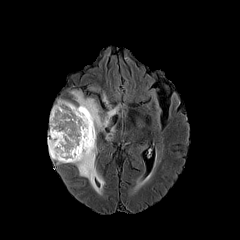
FLAIR magnetic resonance.
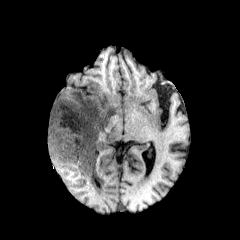
T1-weighted MRI.
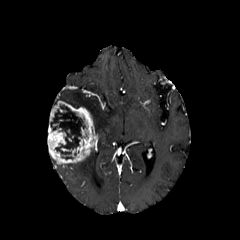
Post-contrast T1-weighted MR of the same slice.
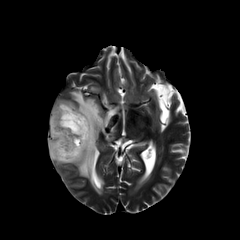
T2-weighted magnetic resonance.
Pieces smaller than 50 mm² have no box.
peritumoral edema: 106:126:115:140, 74:150:104:193, 59:90:118:132 | enhancing tumor: 48:100:96:164 | necrotic tumor core: 50:105:85:159